Image size 240x240, Slice 69 of 155, Axial view, Head
FLAIR magnetic resonance.
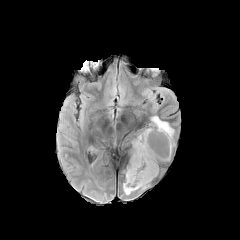
T1-weighted MR.
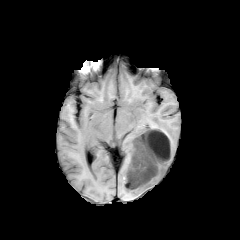
Post-contrast T1-weighted magnetic resonance.
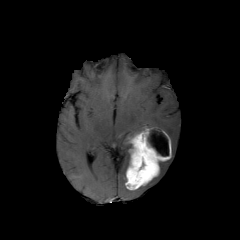
T2-weighted MR.
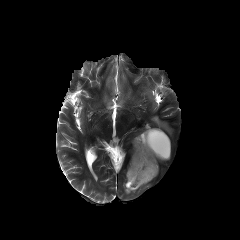
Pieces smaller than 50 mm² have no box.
The 2 largest peritumoral edema regions are bounded by box=[123, 183, 135, 194]; box=[151, 116, 173, 139]. The necrotic tumor core is bounded by box=[148, 128, 168, 156]. The enhancing tumor lies within box=[125, 126, 171, 190].